FLAIR magnetic resonance.
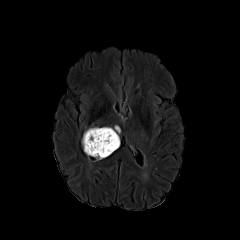
T1-weighted magnetic resonance.
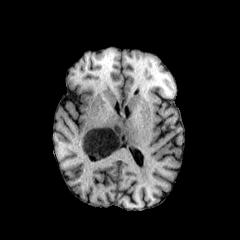
Post-contrast T1-weighted MR.
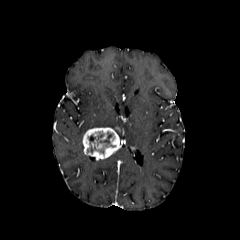
T2-weighted MR image.
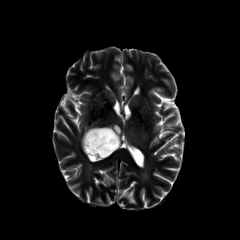
Brain.
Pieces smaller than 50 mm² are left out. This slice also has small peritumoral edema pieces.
enhancing tumor: 82 127 120 160
necrotic tumor core: 100 132 112 144